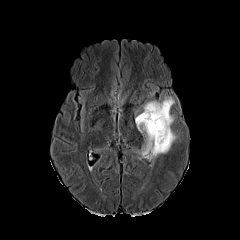
FLAIR magnetic resonance.
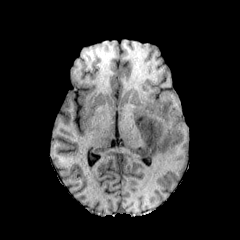
T1-weighted MR image.
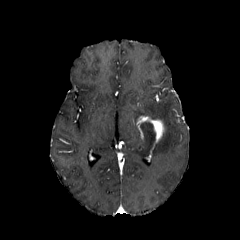
Post-contrast T1-weighted MR image.
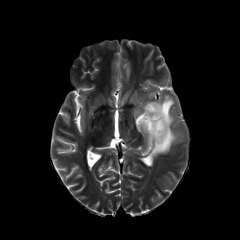
T2-weighted magnetic resonance.
* peritumoral edema: [x1=134, y1=89, x2=186, y2=158]
* enhancing tumor: [x1=136, y1=116, x2=165, y2=145]